FLAIR MRI.
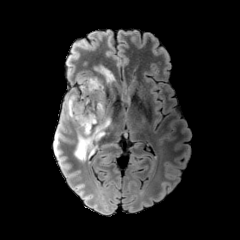
T1-weighted MR image.
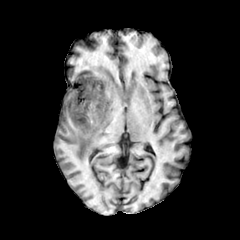
Post-contrast T1-weighted MR.
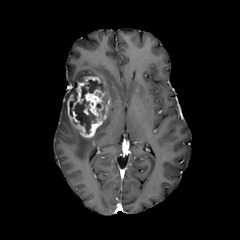
T2-weighted MR.
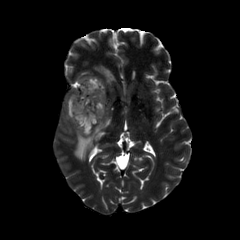
Brain. Axial slice.
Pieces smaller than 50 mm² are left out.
Segmented structures:
• necrotic tumor core: (left=69, top=80, right=103, bottom=133)
• enhancing tumor: (left=67, top=76, right=110, bottom=138)
• peritumoral edema: (left=74, top=66, right=115, bottom=160), (left=61, top=87, right=75, bottom=123)